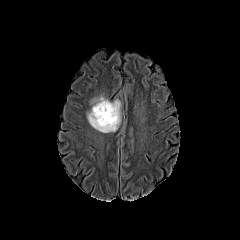
FLAIR magnetic resonance.
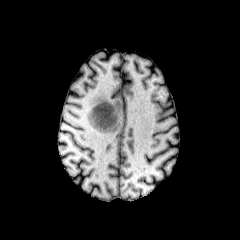
T1-weighted MRI of the same slice.
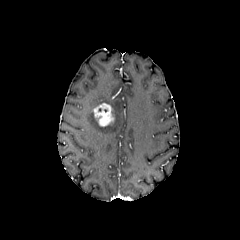
Post-contrast T1-weighted MR.
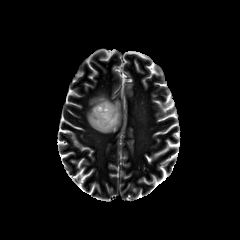
T2-weighted magnetic resonance of the same slice.
Axial slice
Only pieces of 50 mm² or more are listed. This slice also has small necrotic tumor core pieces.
{"peritumoral_edema": ["[87,95,121,132]"], "enhancing_tumor": ["[92,102,114,126]"]}